Image size 240x240 | Brain | Axial slice
FLAIR MR image.
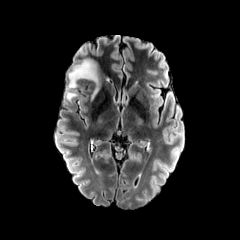
T1-weighted MR.
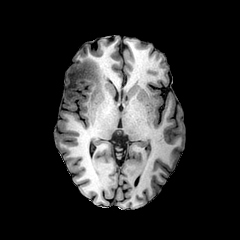
Post-contrast T1-weighted MR.
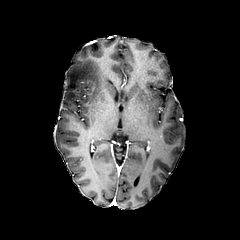
T2-weighted MR.
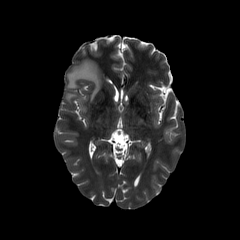
2 peritumoral edema regions are located at x1=67 y1=59 x2=99 y2=99, x1=65 y1=92 x2=76 y2=101.